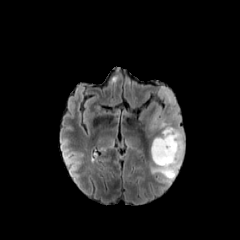
FLAIR MR.
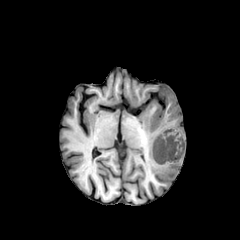
T1-weighted MR image.
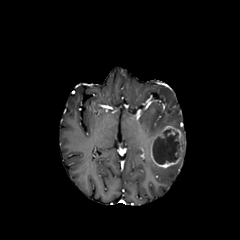
Post-contrast T1-weighted magnetic resonance of the same slice.
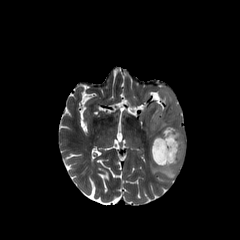
T2-weighted MRI of the same slice.
Brain | 240x240 | Axial view
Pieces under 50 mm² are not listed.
peritumoral edema = 150,158,182,182; 140,86,185,139
necrotic tumor core = 152,129,180,164
enhancing tumor = 150,126,184,168